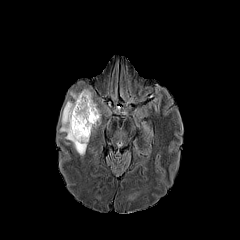
FLAIR magnetic resonance.
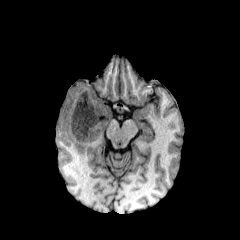
Same slice, T1-weighted magnetic resonance.
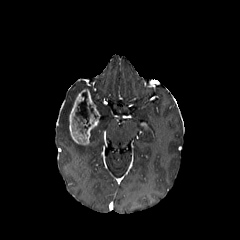
Post-contrast T1-weighted MR.
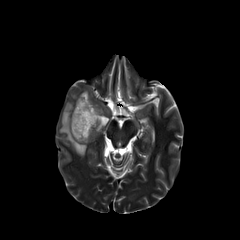
T2-weighted MRI.
Axial slice
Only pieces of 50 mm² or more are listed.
necrotic tumor core: l=73, t=91, r=93, b=133
peritumoral edema: l=60, t=100, r=86, b=156
enhancing tumor: l=69, t=89, r=100, b=144